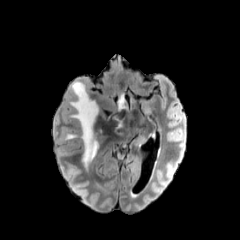
FLAIR MRI.
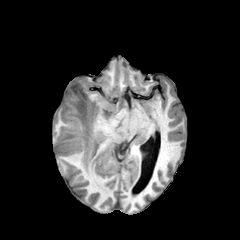
Same slice, T1-weighted MR.
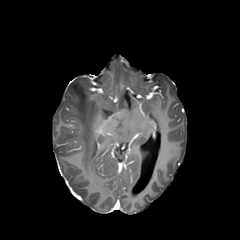
Post-contrast T1-weighted MR image.
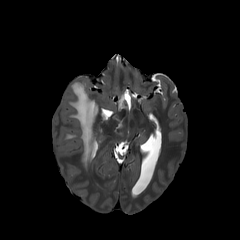
T2-weighted MR.
Head
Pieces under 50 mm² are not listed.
{
  "peritumoral_edema": [
    "l=62, t=133, r=77, b=140",
    "l=69, t=81, r=97, b=169",
    "l=118, t=95, r=127, b=110",
    "l=113, t=116, r=124, b=135"
  ]
}